Image size 240x240; Axial view
FLAIR magnetic resonance.
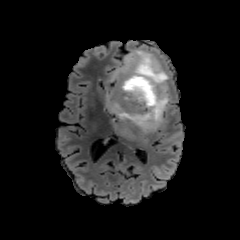
T1-weighted MR.
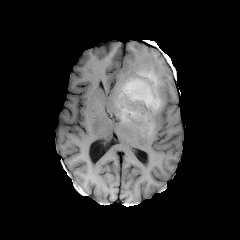
Post-contrast T1-weighted MR.
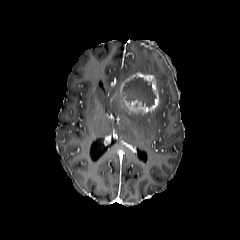
T2-weighted MR image.
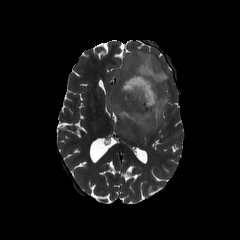
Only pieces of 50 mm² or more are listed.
The largest necrotic tumor core region is bounded by box=[124, 77, 155, 107]. The enhancing tumor lies within box=[120, 72, 159, 113]. The peritumoral edema appears at box=[106, 49, 169, 141].